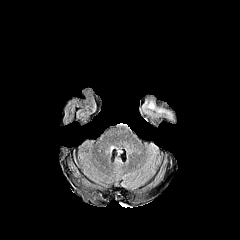
FLAIR MR.
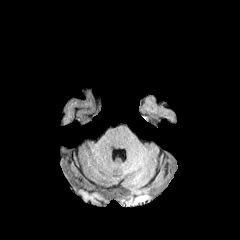
T1-weighted MR image of the same slice.
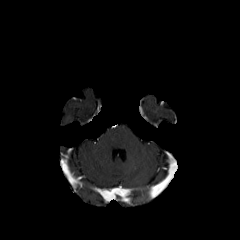
Post-contrast T1-weighted MR image.
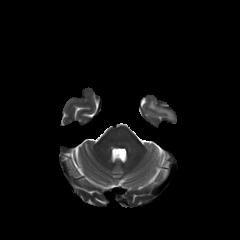
Same slice, T2-weighted MR.
Axial plane. 240x240 px.
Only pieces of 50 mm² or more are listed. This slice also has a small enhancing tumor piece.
Segmented structures:
* peritumoral edema: box(142, 99, 173, 119)